FLAIR MR image.
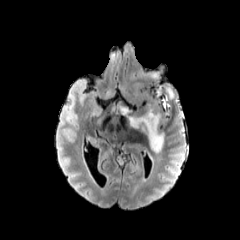
T1-weighted MRI.
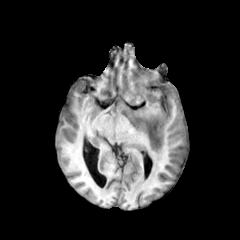
Post-contrast T1-weighted MR image.
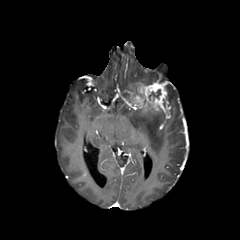
T2-weighted MR.
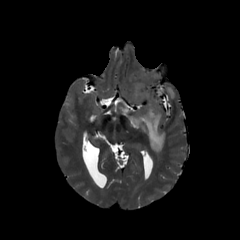
Image size 240x240.
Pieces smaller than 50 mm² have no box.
necrotic tumor core: <box>149,89,160,98</box>
peritumoral edema: <box>166,84,174,101</box>, <box>122,100,164,153</box>
enhancing tumor: <box>131,80,170,112</box>